FLAIR MR image.
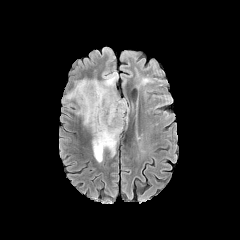
T1-weighted MRI.
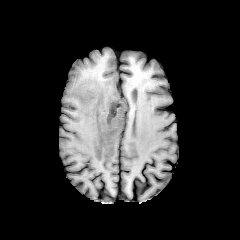
Post-contrast T1-weighted MR image.
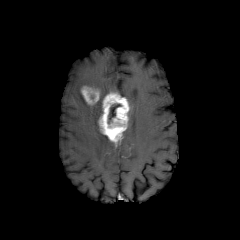
T2-weighted MR.
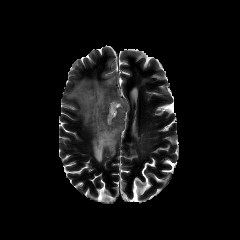
Image size 240x240
<segmentation>
  <necrotic_tumor_core>107, 103, 121, 126</necrotic_tumor_core>
  <enhancing_tumor>98, 92, 129, 145; 80, 85, 100, 105</enhancing_tumor>
  <peritumoral_edema>67, 77, 116, 162</peritumoral_edema>
</segmentation>